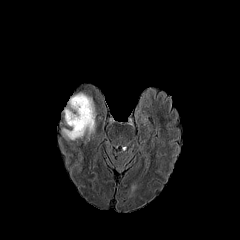
FLAIR MR image.
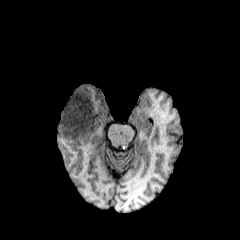
T1-weighted MRI.
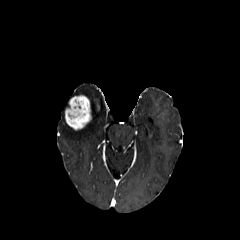
Post-contrast T1-weighted MR image of the same slice.
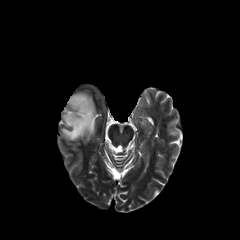
Same slice, T2-weighted MR image.
Head
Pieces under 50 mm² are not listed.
The 2 largest peritumoral edema regions appear at [x1=61, y1=121, x2=91, y2=142], [x1=74, y1=92, x2=96, y2=119]. The enhancing tumor lies within [x1=65, y1=95, x2=91, y2=130].